FLAIR MR.
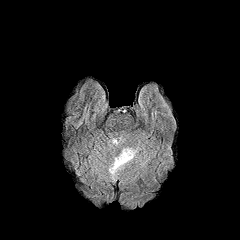
T1-weighted magnetic resonance.
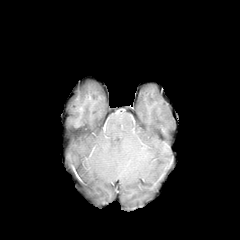
Post-contrast T1-weighted magnetic resonance.
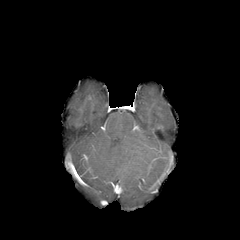
T2-weighted MR image.
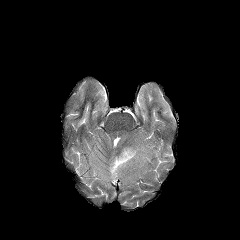
Head. 240x240 px.
The peritumoral edema appears at (x1=108, y1=147, x2=144, y2=180).